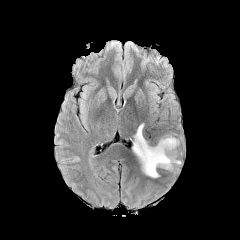
FLAIR magnetic resonance.
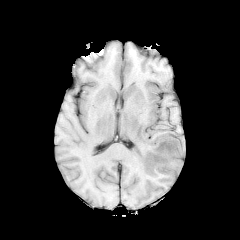
Same slice, T1-weighted MR.
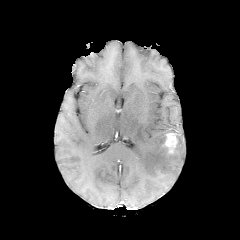
Post-contrast T1-weighted magnetic resonance.
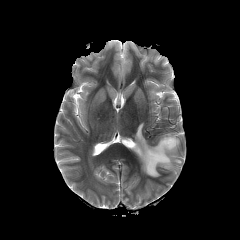
T2-weighted MRI.
Axial slice, Head
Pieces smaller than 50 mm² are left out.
Findings:
* enhancing tumor: x1=162 y1=133 x2=177 y2=153
* peritumoral edema: x1=132 y1=123 x2=181 y2=177